Image covers 240 mm x 240 mm, Head, Image size 240x240, Slice index 103
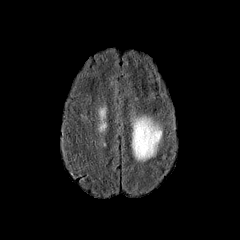
FLAIR MR image.
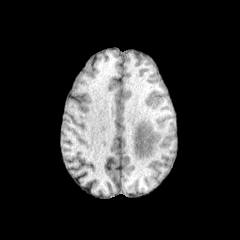
Same slice, T1-weighted magnetic resonance.
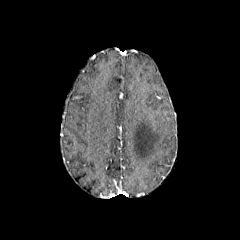
Post-contrast T1-weighted MRI of the same slice.
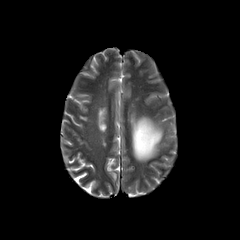
T2-weighted magnetic resonance of the same slice.
peritumoral edema: region(132, 116, 162, 160)